Image covers 240 mm x 240 mm | Image size 240x240
FLAIR MRI.
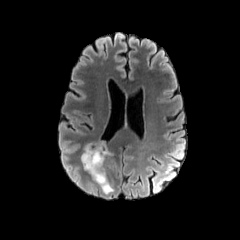
T1-weighted magnetic resonance.
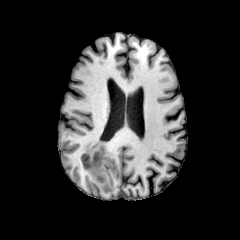
Post-contrast T1-weighted MR image.
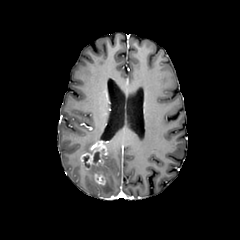
T2-weighted MR image.
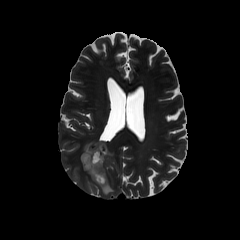
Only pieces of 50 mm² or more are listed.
peritumoral edema: {"x1": 98, "y1": 165, "x2": 113, "y2": 194}
necrotic tumor core: {"x1": 93, "y1": 152, "x2": 99, "y2": 163}
enhancing tumor: {"x1": 81, "y1": 141, "x2": 107, "y2": 185}